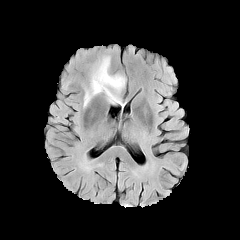
FLAIR MRI.
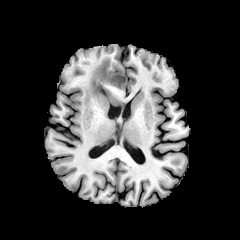
T1-weighted MRI.
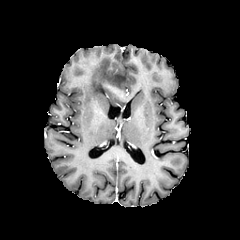
Post-contrast T1-weighted MR image.
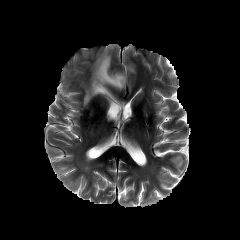
T2-weighted magnetic resonance.
240x240 px. Head.
The peritumoral edema lies within (left=83, top=56, right=125, bottom=107).